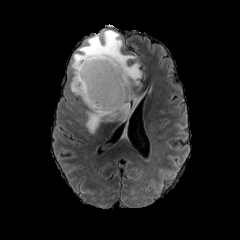
FLAIR MR image.
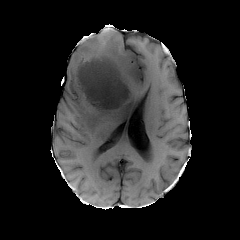
T1-weighted magnetic resonance.
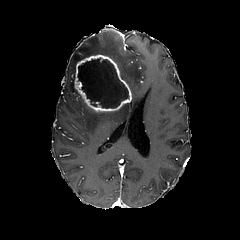
Post-contrast T1-weighted MRI of the same slice.
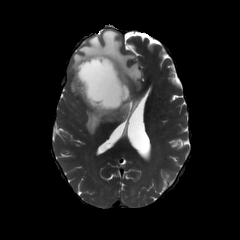
T2-weighted MRI of the same slice.
240x240 px | Head
necrotic tumor core: bounding box <bbox>78, 57, 128, 108</bbox>
peritumoral edema: bounding box <bbox>85, 91, 137, 133</bbox>, <bbox>69, 29, 141, 105</bbox>
enhancing tumor: bounding box <bbox>74, 54, 132, 112</bbox>